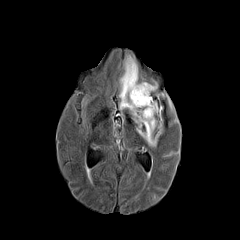
FLAIR MR.
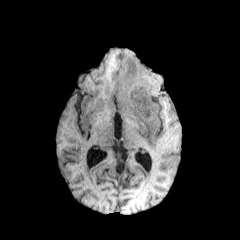
Same slice, T1-weighted MRI.
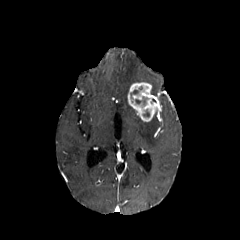
Post-contrast T1-weighted MR.
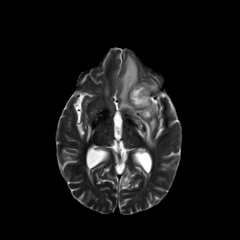
T2-weighted MR of the same slice.
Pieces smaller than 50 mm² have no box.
The 2 largest peritumoral edema regions are bounded by <bbox>119, 54, 162, 147</bbox>, <bbox>150, 80, 157, 91</bbox>. The largest necrotic tumor core region is located at <bbox>135, 96, 147, 105</bbox>. The enhancing tumor lies within <bbox>127, 82, 161, 121</bbox>.